240x240. Slice 99 of 155. Axial slice.
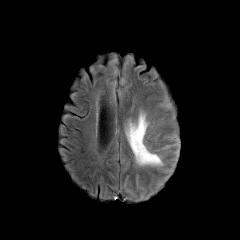
FLAIR MR.
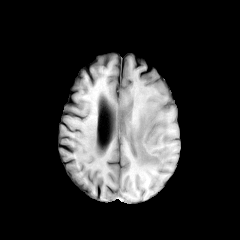
T1-weighted MRI.
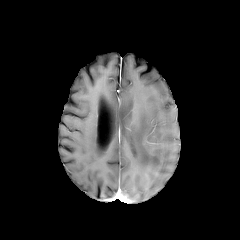
Post-contrast T1-weighted MRI of the same slice.
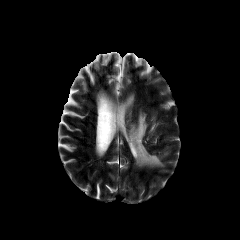
Same slice, T2-weighted MR.
The peritumoral edema lies within x1=126 y1=113 x2=162 y2=165.